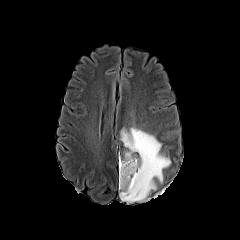
FLAIR MR.
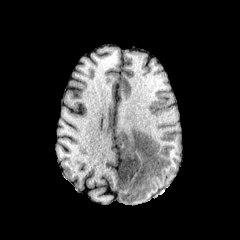
T1-weighted MR image.
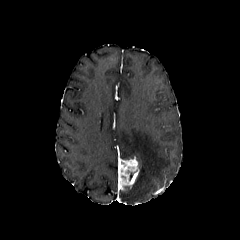
Post-contrast T1-weighted MRI of the same slice.
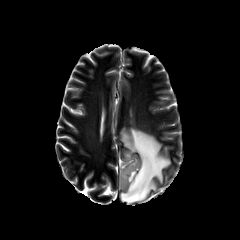
Same slice, T2-weighted magnetic resonance.
Axial view. 240x240 px. Head.
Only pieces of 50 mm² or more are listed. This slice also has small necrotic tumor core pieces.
peritumoral edema: {"x1": 120, "y1": 127, "x2": 170, "y2": 203} | enhancing tumor: {"x1": 118, "y1": 157, "x2": 139, "y2": 190}